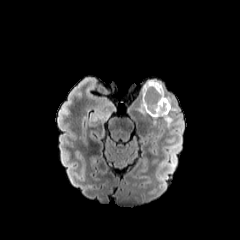
FLAIR MR.
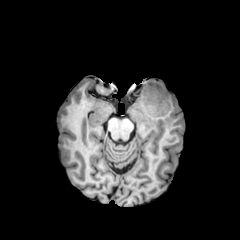
T1-weighted MR.
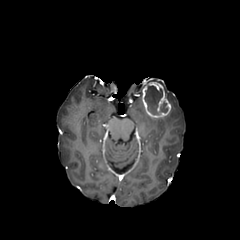
Same slice, post-contrast T1-weighted MR.
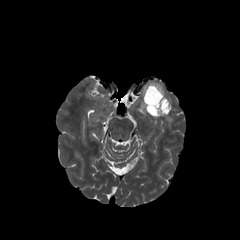
T2-weighted MR image.
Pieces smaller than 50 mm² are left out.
necrotic tumor core at <box>160,102,167,112</box>, <box>144,86,162,114</box>
enhancing tumor at <box>142,81,171,117</box>
peritumoral edema at <box>139,100,146,113</box>, <box>163,114,172,125</box>